FLAIR MR image.
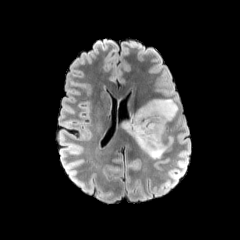
T1-weighted magnetic resonance.
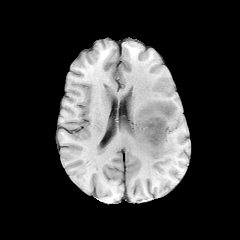
Post-contrast T1-weighted MR image.
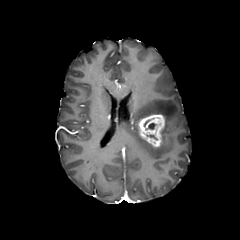
T2-weighted magnetic resonance.
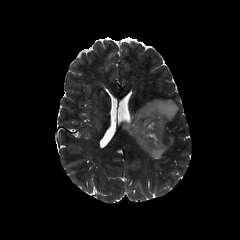
Axial view.
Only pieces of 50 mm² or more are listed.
<segmentation>
  <necrotic_tumor_core>(142, 117, 160, 143)</necrotic_tumor_core>
  <enhancing_tumor>(138, 114, 165, 147)</enhancing_tumor>
  <peritumoral_edema>(121, 99, 178, 159)</peritumoral_edema>
</segmentation>